Axial plane
FLAIR MRI.
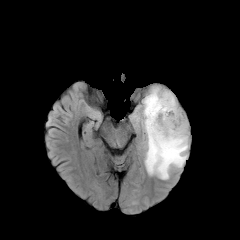
T1-weighted MR image.
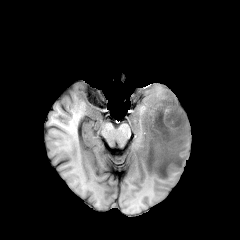
Post-contrast T1-weighted MR image.
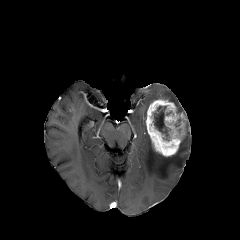
T2-weighted MR.
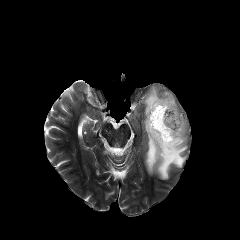
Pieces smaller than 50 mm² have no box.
necrotic tumor core — 154 106 168 136
enhancing tumor — 145 98 187 156
peritumoral edema — 141 86 188 179